Image width 240 mm, 1.00 mm slice spacing, Brain, Axial view
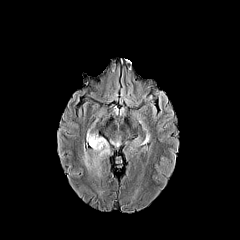
FLAIR MR image.
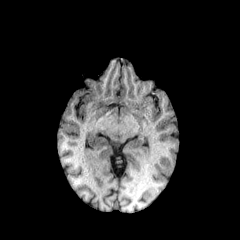
T1-weighted MR of the same slice.
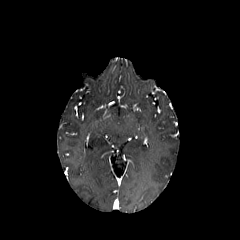
Post-contrast T1-weighted MRI.
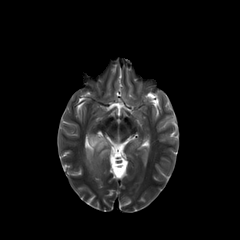
T2-weighted MR.
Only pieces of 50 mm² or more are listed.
The largest peritumoral edema region appears at 89:133:109:165.